FLAIR MRI.
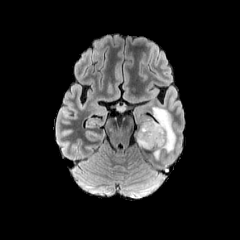
T1-weighted MRI.
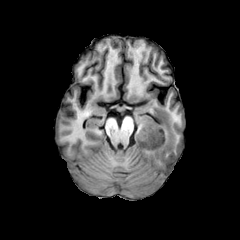
Post-contrast T1-weighted MR.
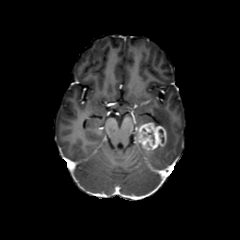
T2-weighted MR image.
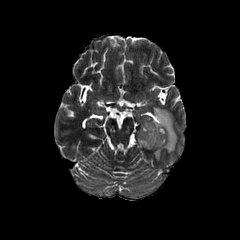
240x240 px; Axial slice; Head
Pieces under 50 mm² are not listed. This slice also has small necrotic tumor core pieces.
{"peritumoral_edema": ["region(134, 107, 176, 159)"], "enhancing_tumor": ["region(136, 122, 166, 149)"]}